FLAIR MR image.
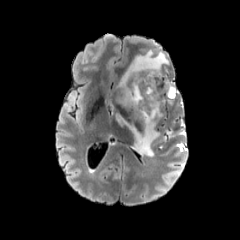
T1-weighted MRI.
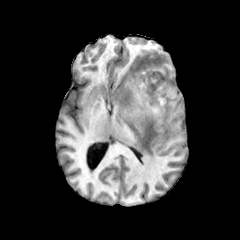
Post-contrast T1-weighted MRI.
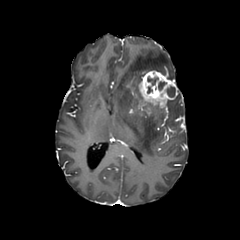
T2-weighted MR image.
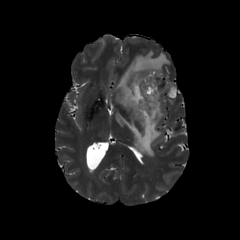
Head. Image size 240x240. Axial view.
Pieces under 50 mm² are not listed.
The largest peritumoral edema region lies within l=116, t=50, r=169, b=156. The largest enhancing tumor region appears at l=138, t=70, r=178, b=107. The 2 largest necrotic tumor core regions are located at l=166, t=86, r=175, b=97; l=147, t=77, r=158, b=85.